FLAIR MR.
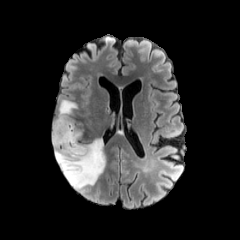
T1-weighted MR image.
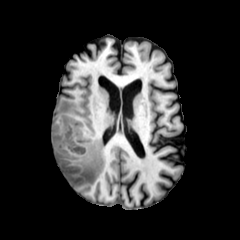
Post-contrast T1-weighted MR.
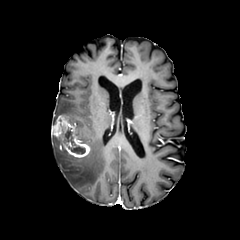
T2-weighted MR.
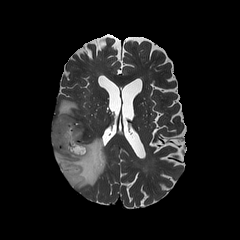
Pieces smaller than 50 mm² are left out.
peritumoral edema: [52,99,105,190] | necrotic tumor core: [64,128,85,154] | enhancing tumor: [52,115,90,157]